FLAIR MR image.
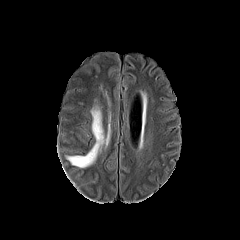
T1-weighted MR image.
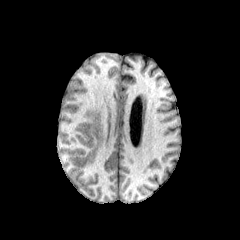
Post-contrast T1-weighted magnetic resonance.
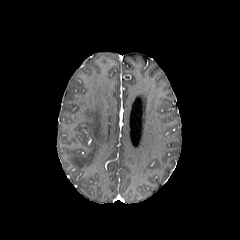
T2-weighted MRI.
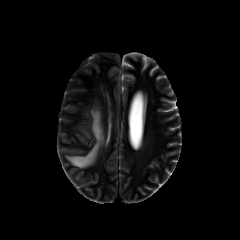
Brain | Image size 240x240 | Axial slice
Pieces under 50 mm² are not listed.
Segmented structures:
• peritumoral edema: [64,107,111,168]